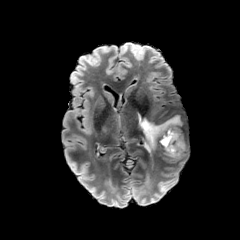
FLAIR MRI.
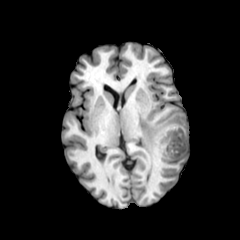
T1-weighted MR.
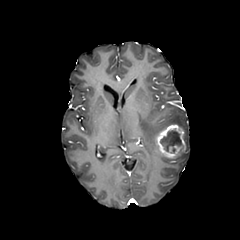
Post-contrast T1-weighted MR of the same slice.
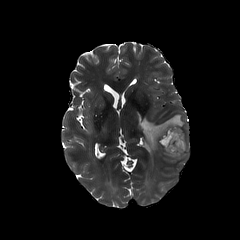
T2-weighted MR.
Brain.
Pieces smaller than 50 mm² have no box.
Findings:
• necrotic tumor core: (160, 131, 181, 153)
• peritumoral edema: (170, 140, 188, 160), (136, 112, 183, 152)
• enhancing tumor: (156, 124, 185, 158)